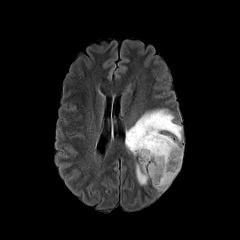
FLAIR MR.
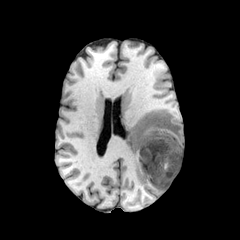
T1-weighted magnetic resonance.
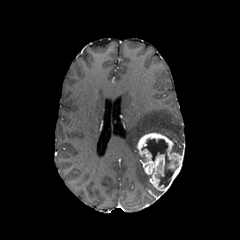
Post-contrast T1-weighted MR image.
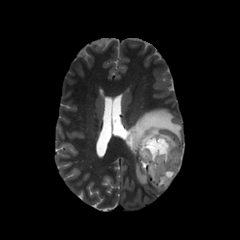
T2-weighted MRI.
Axial plane
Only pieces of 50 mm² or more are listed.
Findings:
• enhancing tumor: (136,132,183,191)
• peritumoral edema: (136,162,150,185), (125,109,182,155), (171,142,182,154)
• necrotic tumor core: (142,139,173,187)